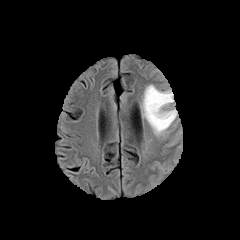
FLAIR magnetic resonance.
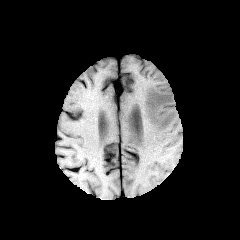
T1-weighted MR.
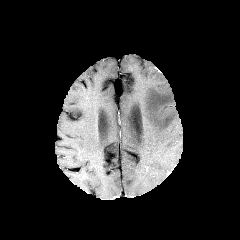
Post-contrast T1-weighted MR.
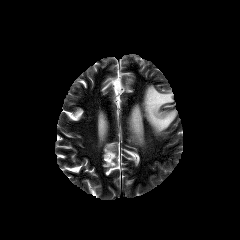
T2-weighted MR.
Annotated regions:
- peritumoral edema: (142, 84, 177, 135)